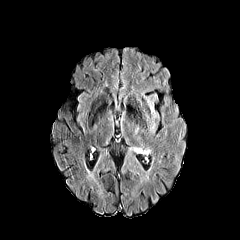
FLAIR MR.
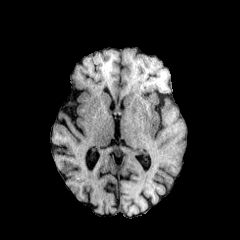
Same slice, T1-weighted MR image.
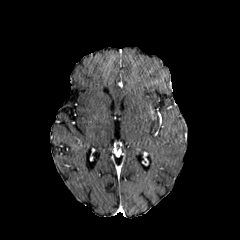
Post-contrast T1-weighted MRI.
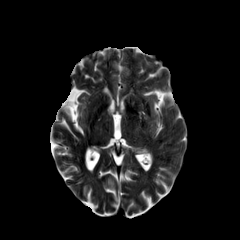
Same slice, T2-weighted MR.
240x240 px; Brain
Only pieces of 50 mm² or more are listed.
The largest peritumoral edema region is at [138, 93, 155, 117].